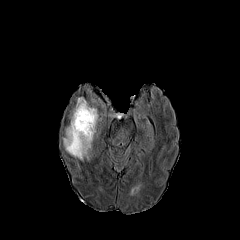
FLAIR MRI.
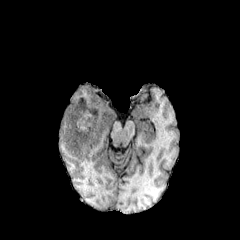
T1-weighted magnetic resonance.
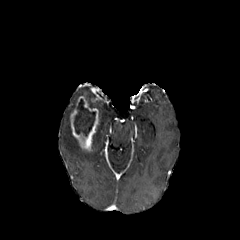
Same slice, post-contrast T1-weighted MR image.
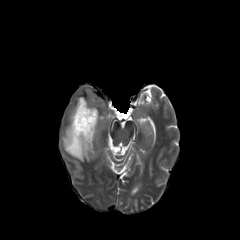
T2-weighted magnetic resonance of the same slice.
240x240. Axial view.
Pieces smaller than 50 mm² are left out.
peritumoral edema: bounding box 62 123 89 161
necrotic tumor core: bounding box 73 99 95 136
enhancing tumor: bounding box 70 96 98 151